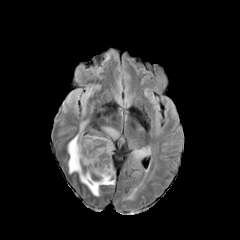
FLAIR MR.
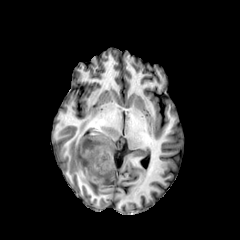
T1-weighted magnetic resonance.
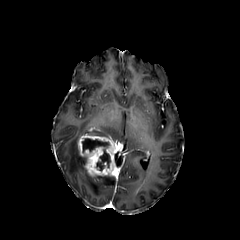
Post-contrast T1-weighted MR of the same slice.
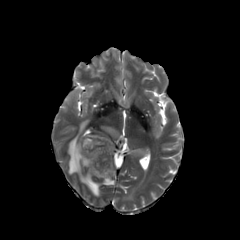
Same slice, T2-weighted MR image.
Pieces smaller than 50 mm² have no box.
enhancing tumor — box(78, 135, 115, 176)
necrotic tumor core — box(97, 150, 110, 170); box(82, 138, 108, 152)
peritumoral edema — box(104, 127, 118, 138); box(68, 121, 114, 196); box(135, 150, 145, 157)